FLAIR MR image.
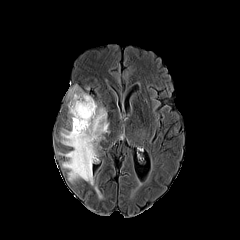
T1-weighted magnetic resonance.
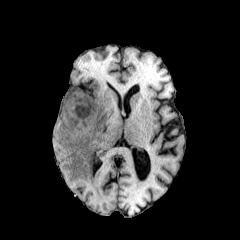
Post-contrast T1-weighted MR image.
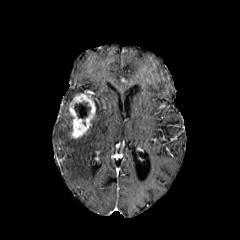
T2-weighted MR image.
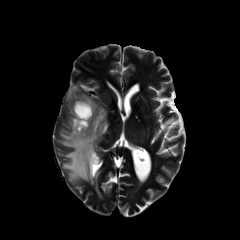
Image size 240x240. Brain. Axial view.
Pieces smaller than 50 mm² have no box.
enhancing_tumor:
  - left=68, top=93, right=95, bottom=138
peritumoral_edema:
  - left=67, top=86, right=82, bottom=107
  - left=58, top=102, right=108, bottom=185
necrotic_tumor_core:
  - left=74, top=102, right=90, bottom=125